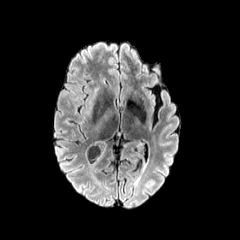
FLAIR MR.
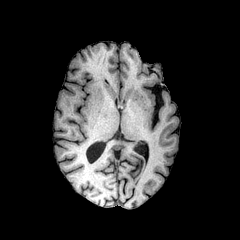
T1-weighted MR image.
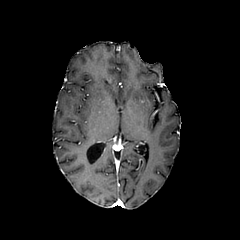
Post-contrast T1-weighted magnetic resonance of the same slice.
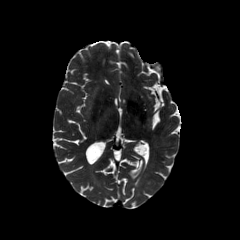
T2-weighted MRI of the same slice.
Image size 240x240, Axial view, Head
Annotated regions:
- peritumoral edema: region(85, 86, 98, 116); region(97, 107, 112, 128)